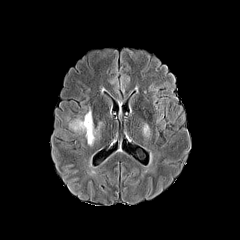
FLAIR MR.
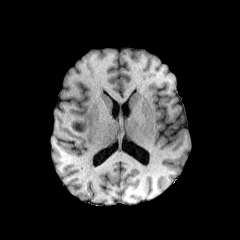
T1-weighted MR image of the same slice.
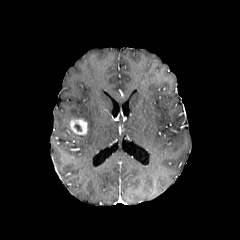
Same slice, post-contrast T1-weighted MR image.
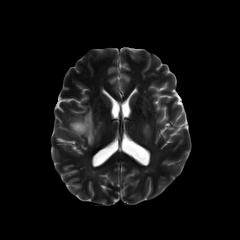
T2-weighted MRI.
Brain
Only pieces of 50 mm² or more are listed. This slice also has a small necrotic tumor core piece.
Annotated regions:
* peritumoral edema: <bbox>143, 124, 149, 137</bbox>, <bbox>83, 110, 97, 145</bbox>
* enhancing tumor: <bbox>69, 118, 88, 135</bbox>